Brain, Image size 240x240
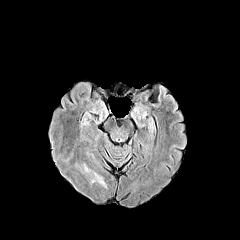
FLAIR MR image.
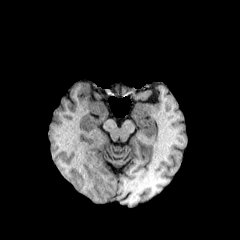
T1-weighted magnetic resonance.
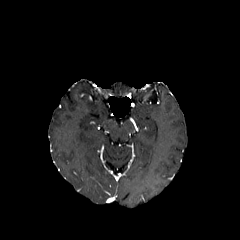
Post-contrast T1-weighted MRI.
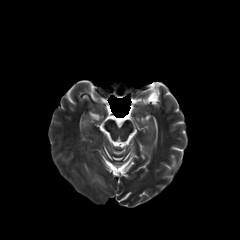
Same slice, T2-weighted MR image.
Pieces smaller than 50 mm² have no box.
peritumoral edema: <box>83,162,106,188</box>